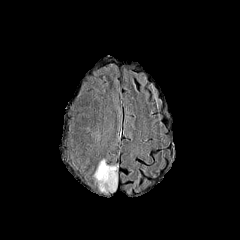
FLAIR magnetic resonance.
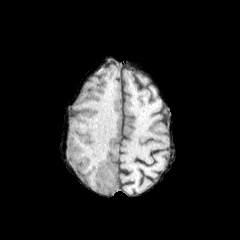
T1-weighted MR.
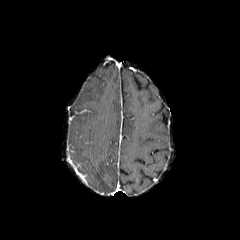
Post-contrast T1-weighted MR.
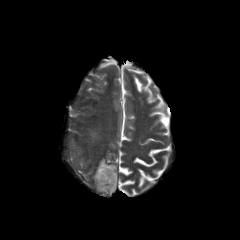
T2-weighted MRI.
Axial plane.
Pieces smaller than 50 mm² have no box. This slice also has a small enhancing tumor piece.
{
  "peritumoral_edema": [
    "rect(94, 159, 117, 195)"
  ]
}